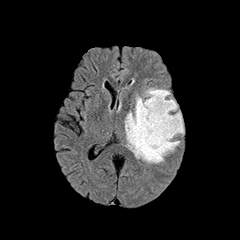
FLAIR MR.
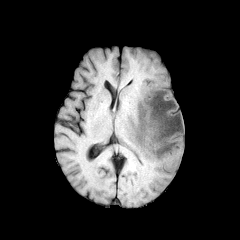
Same slice, T1-weighted MRI.
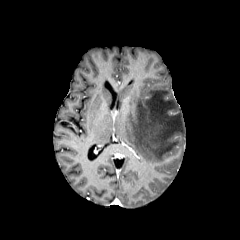
Post-contrast T1-weighted MR of the same slice.
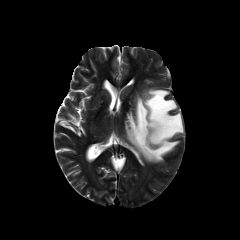
T2-weighted magnetic resonance of the same slice.
Axial view
{
  "peritumoral_edema": [
    "(x1=125, y1=88, x2=183, y2=163)"
  ]
}